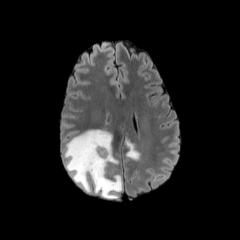
FLAIR MR image.
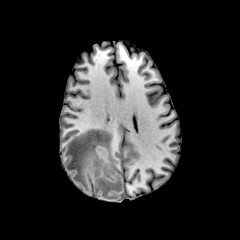
T1-weighted MRI.
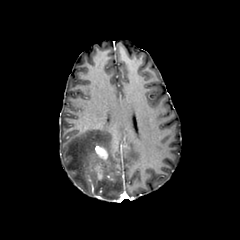
Post-contrast T1-weighted MRI of the same slice.
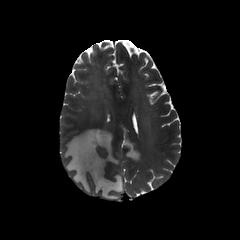
T2-weighted MR.
240x240. Axial slice.
2 peritumoral edema regions are bounded by x1=64, y1=129, x2=122, y2=199; x1=125, y1=137, x2=139, y2=160. 2 enhancing tumor regions are located at x1=95, y1=145, x2=107, y2=160; x1=94, y1=164, x2=102, y2=179.